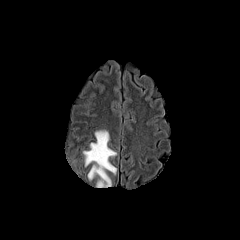
FLAIR MR.
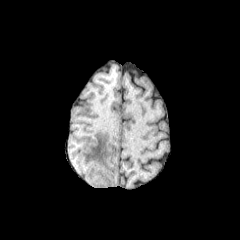
T1-weighted MR of the same slice.
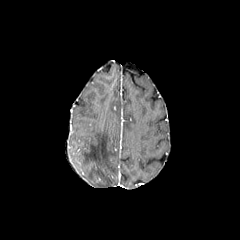
Post-contrast T1-weighted MR of the same slice.
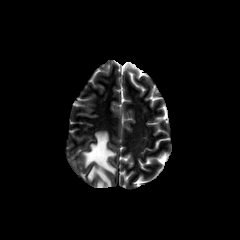
T2-weighted MR.
240x240 px. Axial view.
The peritumoral edema lies within box(83, 130, 116, 187).